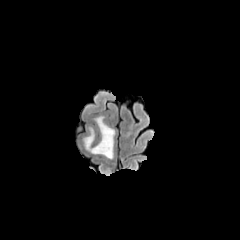
FLAIR MR image.
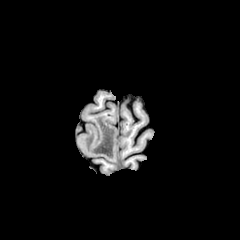
T1-weighted magnetic resonance.
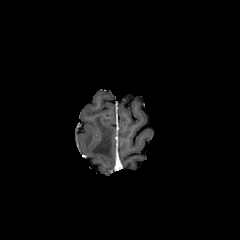
Post-contrast T1-weighted MR image of the same slice.
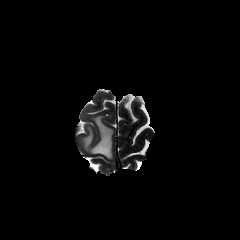
T2-weighted MR.
peritumoral edema: bounding box bbox=[83, 116, 114, 159]